Axial slice. Slice 81/155. 240x240 px. Head.
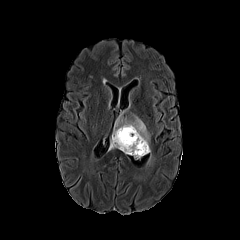
FLAIR MRI.
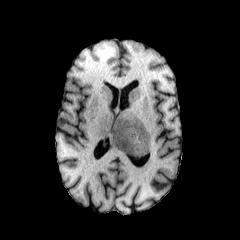
Same slice, T1-weighted MR image.
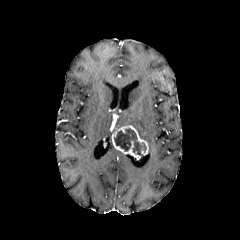
Post-contrast T1-weighted magnetic resonance.
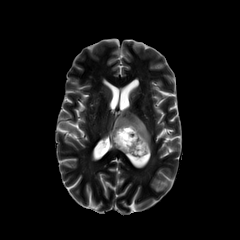
T2-weighted magnetic resonance.
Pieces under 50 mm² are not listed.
Annotated regions:
* necrotic tumor core: x1=114 y1=128 x2=146 y2=155
* enhancing tumor: x1=112 y1=125 x2=148 y2=159
* peritumoral edema: x1=114 y1=112 x2=150 y2=152